Brain. Slice index 88. Image width 240 mm, 1.00 mm slice spacing.
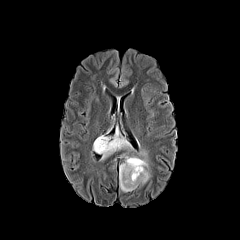
FLAIR MR image.
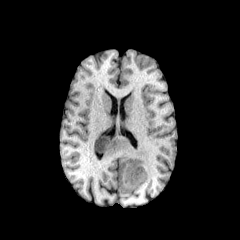
T1-weighted MRI.
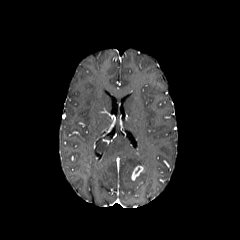
Same slice, post-contrast T1-weighted MR.
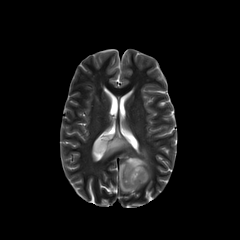
T2-weighted magnetic resonance.
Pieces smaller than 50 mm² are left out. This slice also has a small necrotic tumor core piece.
The enhancing tumor is bounded by bbox(131, 165, 143, 180). 2 peritumoral edema regions are located at bbox(119, 150, 150, 192); bbox(93, 130, 131, 159).